Brain. Slice 76 of 155. 240x240. Axial plane.
FLAIR magnetic resonance.
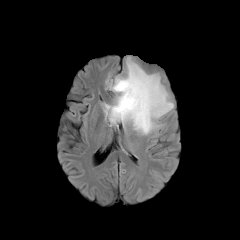
T1-weighted MR image.
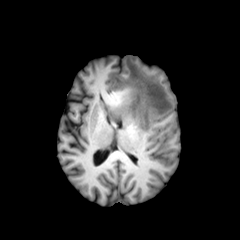
Post-contrast T1-weighted MR image.
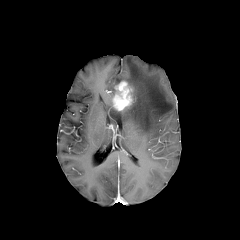
T2-weighted MRI.
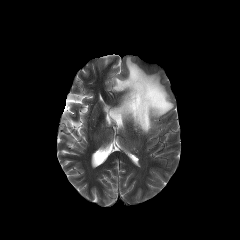
peritumoral_edema:
  - region(104, 57, 173, 134)
enhancing_tumor:
  - region(114, 81, 132, 110)